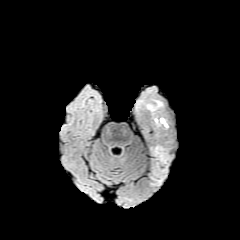
FLAIR magnetic resonance.
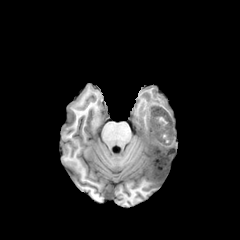
T1-weighted magnetic resonance of the same slice.
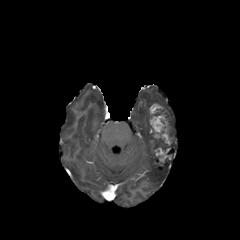
Post-contrast T1-weighted MR image of the same slice.
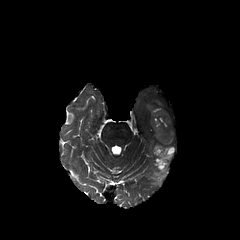
T2-weighted MR image.
Brain; Axial plane
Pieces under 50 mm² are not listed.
- peritumoral edema: <box>152,162,168,184</box>
- enhancing tumor: <box>149,104,162,114</box>, <box>150,112,172,161</box>
- necrotic tumor core: <box>151,109,163,116</box>, <box>156,156,168,165</box>, <box>152,139,169,151</box>